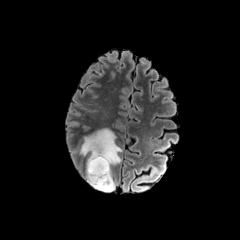
FLAIR magnetic resonance.
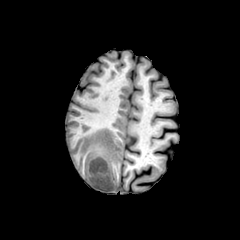
T1-weighted MRI.
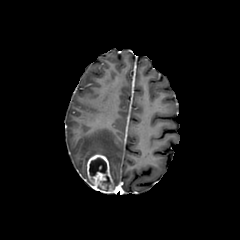
Post-contrast T1-weighted MR of the same slice.
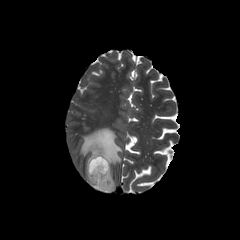
T2-weighted MR.
Head
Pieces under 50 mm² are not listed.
enhancing tumor — box(87, 154, 114, 192)
necrotic tumor core — box(102, 176, 110, 190); box(89, 158, 106, 176)
peritumoral edema — box(80, 128, 121, 182)